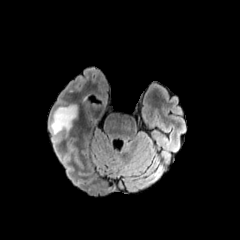
FLAIR MR.
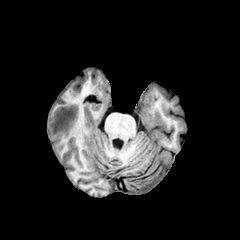
Same slice, T1-weighted MRI.
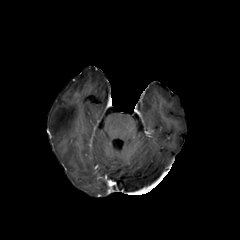
Post-contrast T1-weighted MR of the same slice.
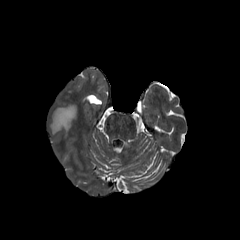
T2-weighted MR image.
<segmentation>
  <peritumoral_edema>box(50, 105, 76, 135)</peritumoral_edema>
</segmentation>